Axial view. Brain.
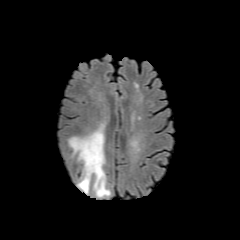
FLAIR MR image.
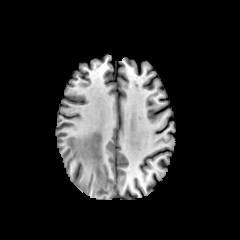
Same slice, T1-weighted magnetic resonance.
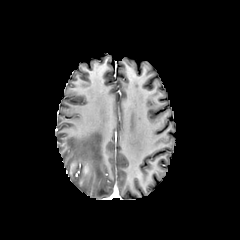
Post-contrast T1-weighted MRI of the same slice.
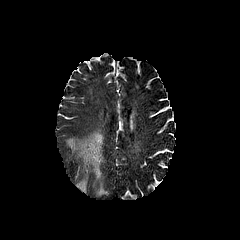
T2-weighted magnetic resonance of the same slice.
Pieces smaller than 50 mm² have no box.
* peritumoral edema: <box>68,127,110,197</box>
* enhancing tumor: <box>83,164,89,174</box>